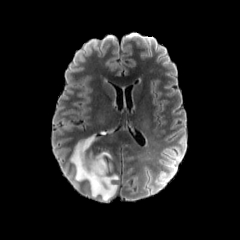
FLAIR MR image.
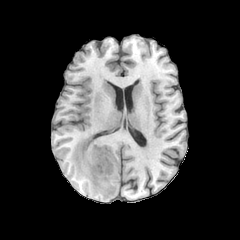
Same slice, T1-weighted magnetic resonance.
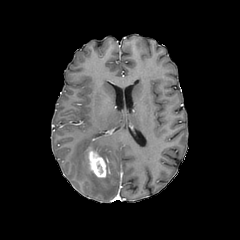
Post-contrast T1-weighted magnetic resonance of the same slice.
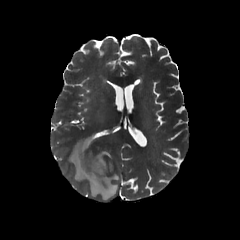
T2-weighted MRI of the same slice.
240x240 px. Axial view.
peritumoral edema = 99 151 110 159, 70 135 118 200
enhancing tumor = 88 150 107 177